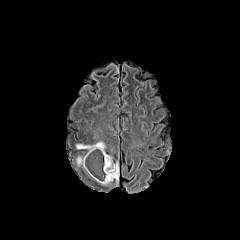
FLAIR MR.
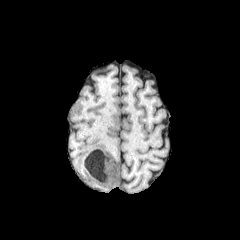
Same slice, T1-weighted MR.
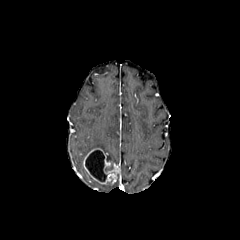
Post-contrast T1-weighted MRI of the same slice.
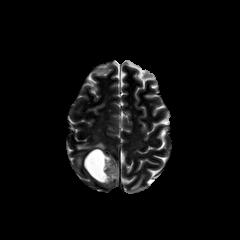
T2-weighted MR image of the same slice.
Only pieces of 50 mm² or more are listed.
<segmentation>
  <necrotic_tumor_core><box>85,150,106,181</box></necrotic_tumor_core>
  <peritumoral_edema><box>76,156,83,165</box>, <box>76,142,105,151</box></peritumoral_edema>
  <enhancing_tumor><box>83,148,118,184</box></enhancing_tumor>
</segmentation>